Slice index 111; Axial plane; Head
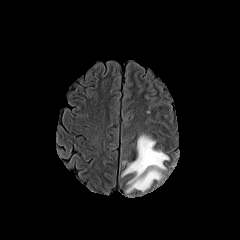
FLAIR MR.
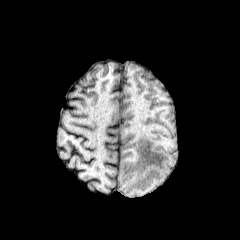
T1-weighted MRI of the same slice.
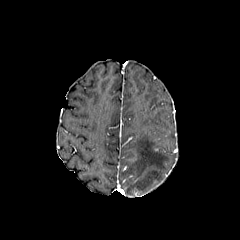
Post-contrast T1-weighted MR.
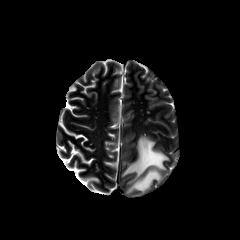
T2-weighted MR of the same slice.
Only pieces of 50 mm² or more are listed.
The largest peritumoral edema region lies within box(121, 134, 169, 193).